Axial view, Image size 240x240, Image width 240 mm, 1.00 mm slice spacing
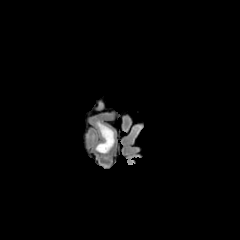
FLAIR MRI.
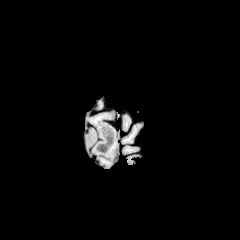
T1-weighted MRI of the same slice.
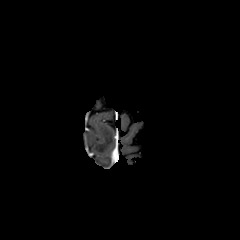
Post-contrast T1-weighted magnetic resonance.
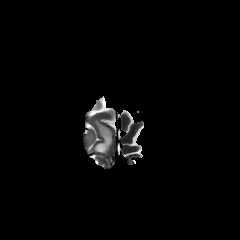
T2-weighted MR of the same slice.
peritumoral edema = 95 122 113 153